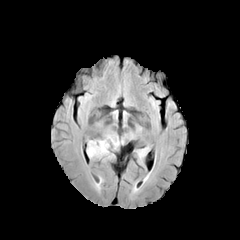
FLAIR magnetic resonance.
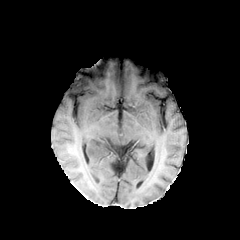
T1-weighted MRI.
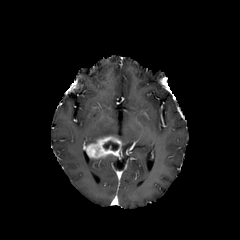
Post-contrast T1-weighted MR.
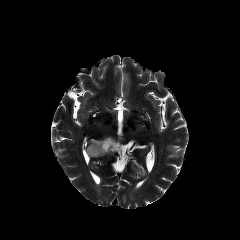
T2-weighted MR image.
Brain
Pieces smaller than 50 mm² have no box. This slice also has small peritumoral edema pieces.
enhancing tumor: <box>86,136,121,158</box>
necrotic tumor core: <box>103,141,118,150</box>